FLAIR magnetic resonance.
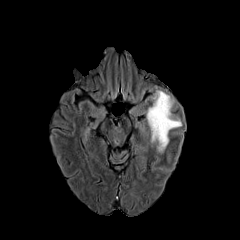
T1-weighted MR image.
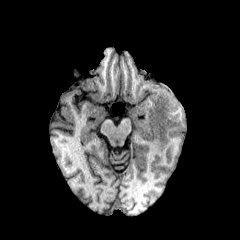
Post-contrast T1-weighted MR image.
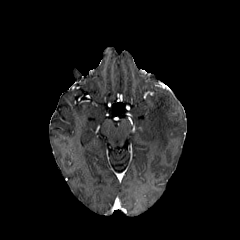
T2-weighted MRI.
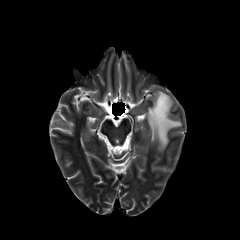
240x240 px
The peritumoral edema is located at <box>146,90,181,152</box>.